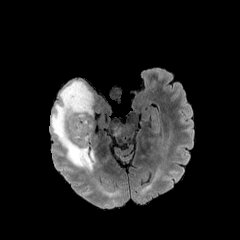
FLAIR MRI.
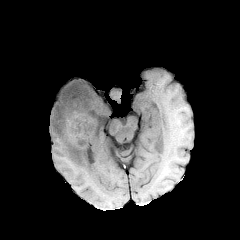
Same slice, T1-weighted MR image.
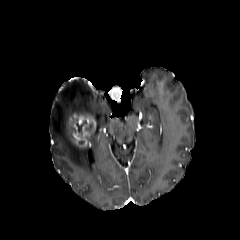
Same slice, post-contrast T1-weighted magnetic resonance.
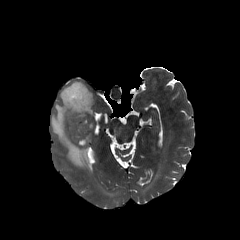
T2-weighted MRI.
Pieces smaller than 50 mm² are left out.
enhancing tumor: region(70, 114, 95, 146) | peritumoral edema: region(51, 81, 95, 171) | necrotic tumor core: region(75, 116, 91, 137)